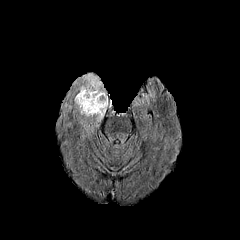
FLAIR MR image.
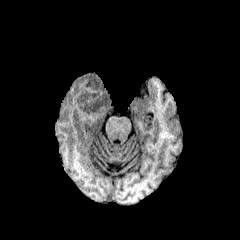
T1-weighted MR of the same slice.
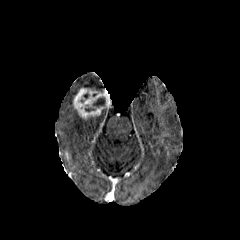
Post-contrast T1-weighted magnetic resonance.
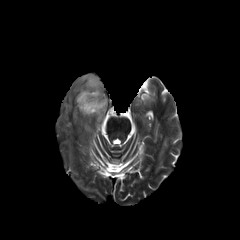
T2-weighted MR of the same slice.
Axial plane; Head
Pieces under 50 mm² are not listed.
The enhancing tumor lies within (73,87,111,118). The largest necrotic tumor core region lies within (93,97,105,107). The 2 largest peritumoral edema regions are bounded by (76,73,104,90), (94,109,106,121).